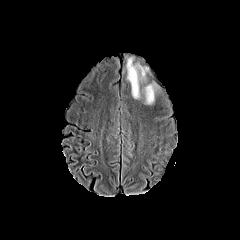
FLAIR MRI.
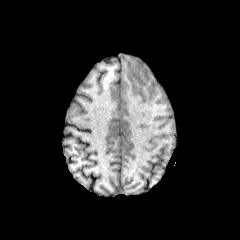
T1-weighted magnetic resonance.
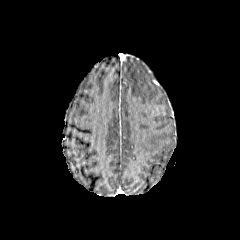
Post-contrast T1-weighted MR image.
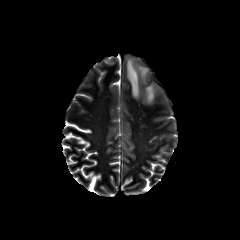
T2-weighted MR image of the same slice.
Brain. Axial view.
peritumoral edema: region(126, 55, 149, 99); region(142, 81, 161, 104)